240x240 px, Brain, Axial slice, Image covers 240 mm x 240 mm, Slice index 47
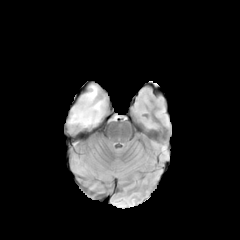
FLAIR MR image.
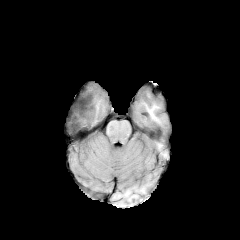
T1-weighted MR image.
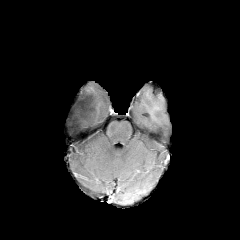
Post-contrast T1-weighted magnetic resonance of the same slice.
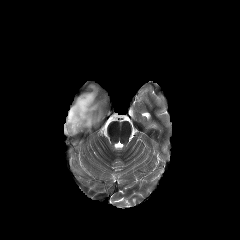
T2-weighted MR image of the same slice.
peritumoral edema = [x1=72, y1=155, x2=86, y2=173], [x1=64, y1=83, x2=110, y2=133]